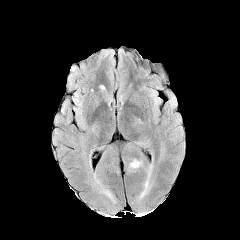
FLAIR MR.
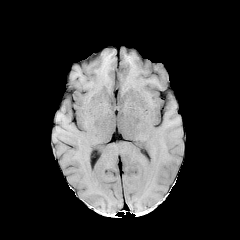
T1-weighted magnetic resonance.
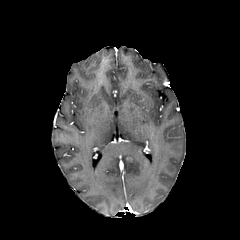
Post-contrast T1-weighted magnetic resonance.
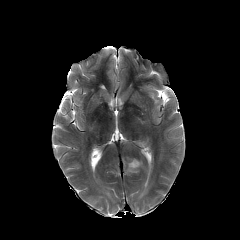
Same slice, T2-weighted MR image.
Axial plane. Head.
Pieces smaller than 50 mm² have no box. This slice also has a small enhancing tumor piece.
Segmented structures:
- peritumoral edema: [129, 159, 142, 169]